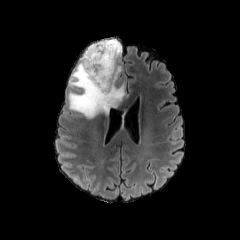
FLAIR MR.
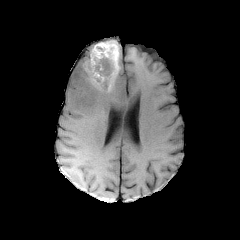
T1-weighted MRI.
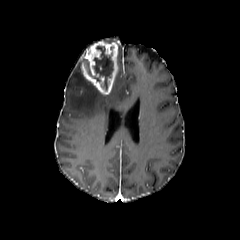
Post-contrast T1-weighted magnetic resonance.
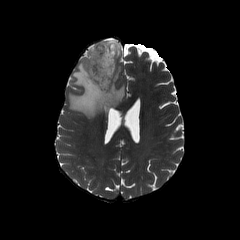
T2-weighted MR image.
Image size 240x240; Head
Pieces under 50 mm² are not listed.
The peritumoral edema is at box(68, 39, 125, 118). The necrotic tumor core is located at box(84, 46, 113, 90). The largest enhancing tumor region is located at box(81, 41, 118, 95).